Image size 240x240; Image width 240 mm; Slice index 77
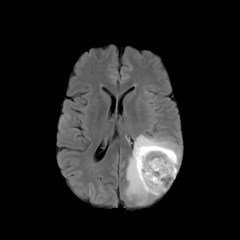
FLAIR MR.
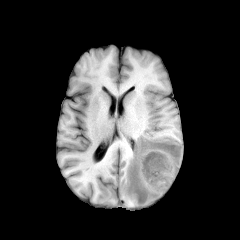
T1-weighted magnetic resonance of the same slice.
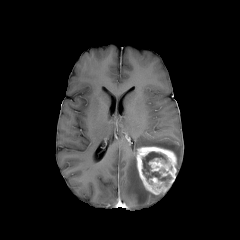
Post-contrast T1-weighted MR.
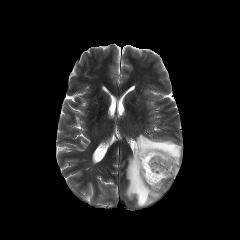
T2-weighted MR image.
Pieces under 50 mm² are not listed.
necrotic tumor core at region(142, 152, 171, 183)
enhancing tumor at region(134, 146, 177, 195)
peritumoral edema at region(125, 134, 181, 207)